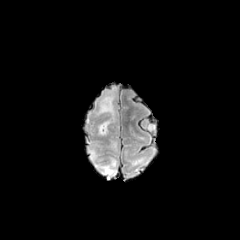
FLAIR MRI.
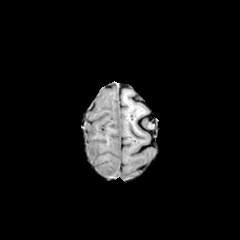
T1-weighted MR image.
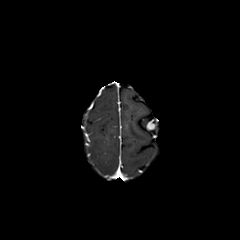
Post-contrast T1-weighted magnetic resonance.
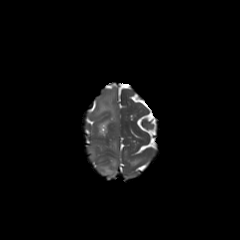
T2-weighted magnetic resonance.
Axial slice, Head
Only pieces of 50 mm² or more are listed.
<segmentation>
  <peritumoral_edema>(96,158,117,175), (96,92,115,135), (89,146,96,159)</peritumoral_edema>
</segmentation>